FLAIR magnetic resonance.
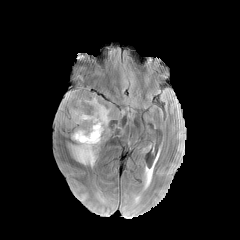
T1-weighted MR image.
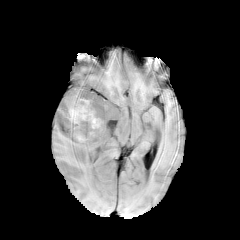
Post-contrast T1-weighted magnetic resonance.
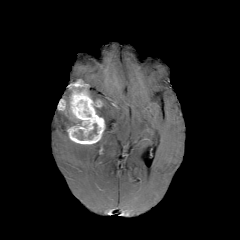
T2-weighted MR.
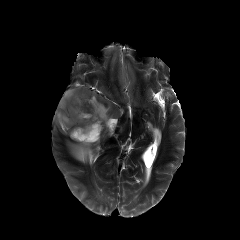
Head | Axial plane
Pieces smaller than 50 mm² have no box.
{
  "enhancing_tumor": [
    "67, 80, 105, 144",
    "58, 99, 67, 113"
  ],
  "necrotic_tumor_core": [
    "88, 123, 97, 139",
    "77, 100, 87, 109",
    "77, 130, 84, 140"
  ],
  "peritumoral_edema": [
    "96, 105, 110, 130",
    "70, 140, 100, 166",
    "56, 85, 81, 126"
  ]
}